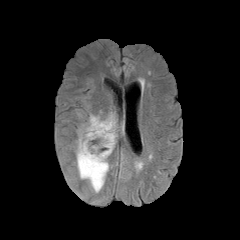
FLAIR magnetic resonance.
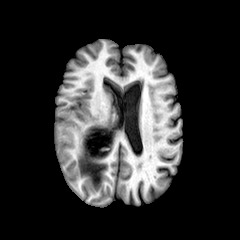
Same slice, T1-weighted MR.
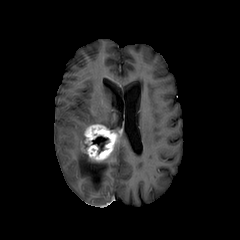
Post-contrast T1-weighted MR of the same slice.
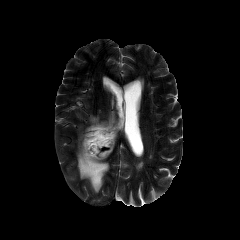
T2-weighted MRI of the same slice.
Axial slice.
enhancing tumor at <bbox>81, 124, 118, 162</bbox>
peritumoral edema at <bbox>89, 112, 118, 134</bbox>, <bbox>76, 125, 109, 192</bbox>
necrotic tumor core at <bbox>92, 136, 108, 153</bbox>